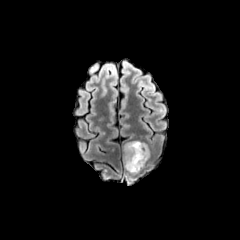
FLAIR magnetic resonance.
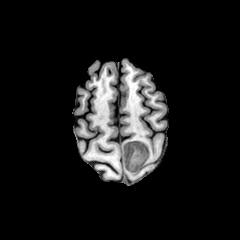
T1-weighted MR image.
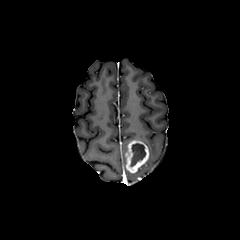
Post-contrast T1-weighted MR image of the same slice.
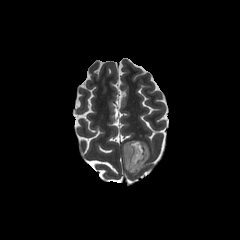
T2-weighted MR image of the same slice.
Head. Image size 240x240.
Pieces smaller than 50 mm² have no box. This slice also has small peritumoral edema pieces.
enhancing tumor at box=[124, 140, 149, 173]
necrotic tumor core at box=[130, 143, 145, 166]